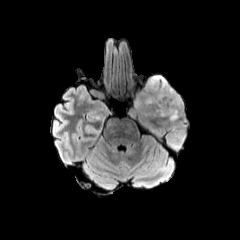
FLAIR MR image.
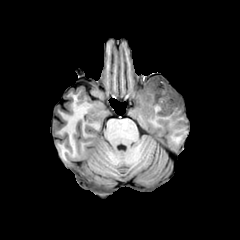
T1-weighted MRI.
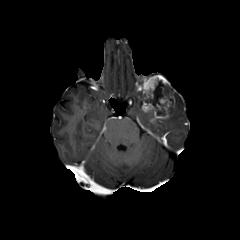
Post-contrast T1-weighted MR.
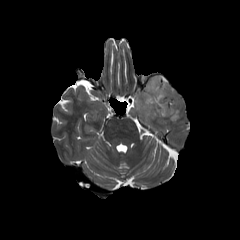
T2-weighted MRI.
240x240
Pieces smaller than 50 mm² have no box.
enhancing tumor: 139 75 174 118 | peritumoral edema: 169 91 182 121, 135 90 141 110 | necrotic tumor core: 145 80 173 115